Axial slice, Head
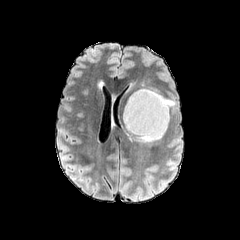
FLAIR magnetic resonance.
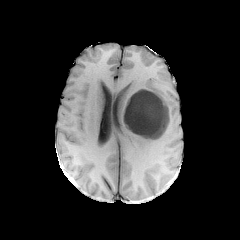
Same slice, T1-weighted magnetic resonance.
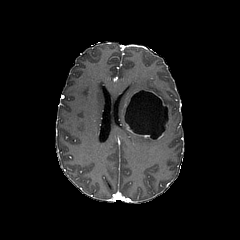
Post-contrast T1-weighted MR of the same slice.
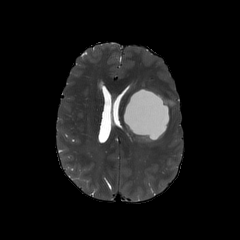
T2-weighted MR image.
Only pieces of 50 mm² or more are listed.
2 peritumoral edema regions appear at x1=136 y1=135 x2=154 y2=142, x1=163 y1=99 x2=173 y2=105. The 2 largest enhancing tumor regions are located at x1=124 y1=109 x2=164 y2=139, x1=142 y1=89 x2=167 y2=107. The necrotic tumor core is located at x1=125 y1=90 x2=167 y2=138.